Image width 240 mm; Slice index 80; Axial plane; 240x240
FLAIR magnetic resonance.
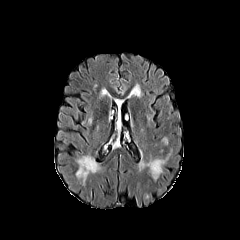
T1-weighted magnetic resonance.
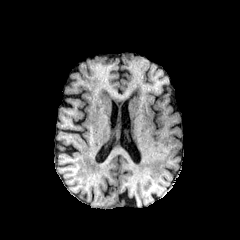
Post-contrast T1-weighted MR.
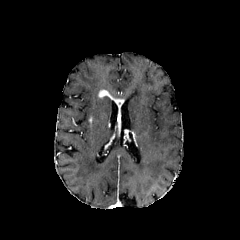
T2-weighted MR image.
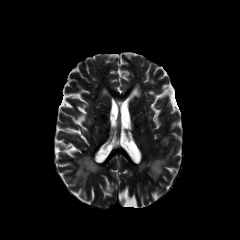
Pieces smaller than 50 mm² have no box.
enhancing tumor at [x1=98, y1=90, x2=122, y2=108]
peritumoral edema at [x1=128, y1=84, x2=141, y2=97]